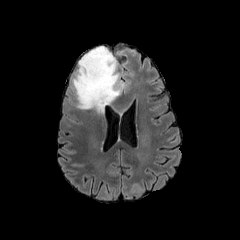
FLAIR magnetic resonance.
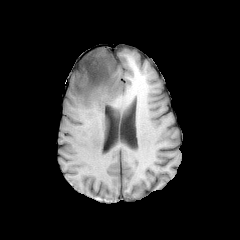
T1-weighted MR.
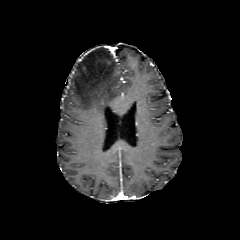
Post-contrast T1-weighted MRI of the same slice.
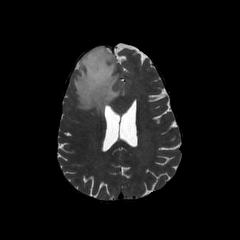
T2-weighted MR.
Brain
peritumoral_edema:
  - box=[72, 47, 124, 113]